Slice 60 of 155
FLAIR MRI.
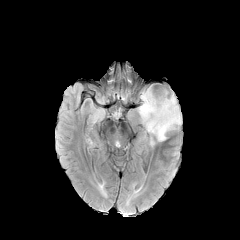
T1-weighted magnetic resonance.
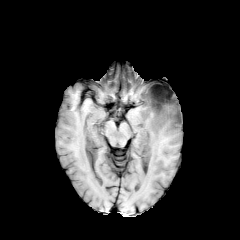
Post-contrast T1-weighted magnetic resonance.
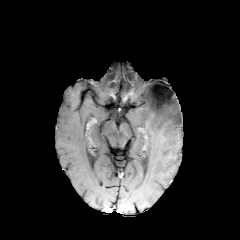
T2-weighted MRI.
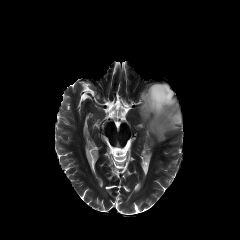
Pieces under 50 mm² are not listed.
{
  "peritumoral_edema": [
    "box=[138, 88, 182, 141]"
  ],
  "necrotic_tumor_core": [
    "box=[146, 84, 174, 115]"
  ]
}